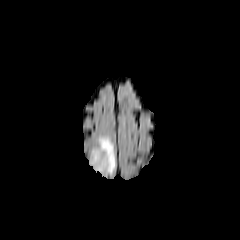
FLAIR MRI.
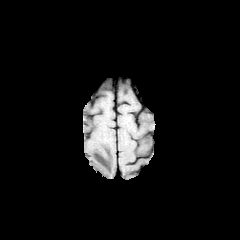
Same slice, T1-weighted MRI.
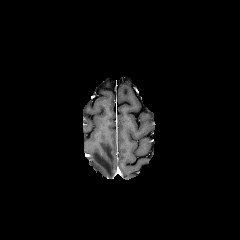
Post-contrast T1-weighted MR image.
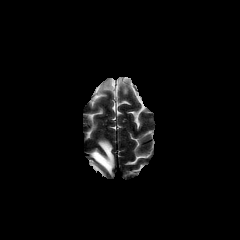
Same slice, T2-weighted MRI.
240x240
Segmented structures:
* peritumoral edema: (90, 137, 115, 175)